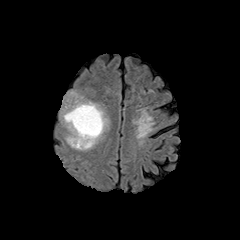
FLAIR MRI.
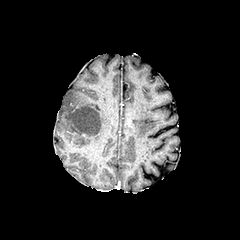
T1-weighted MRI.
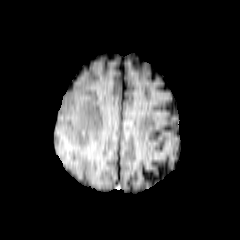
Post-contrast T1-weighted MR of the same slice.
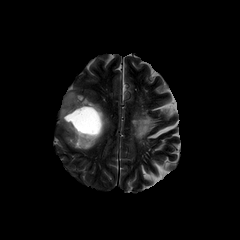
T2-weighted MR of the same slice.
Axial slice | Brain
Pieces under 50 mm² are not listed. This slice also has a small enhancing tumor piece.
The necrotic tumor core is at bbox=[64, 105, 102, 135]. The peritumoral edema is bounded by bbox=[60, 91, 109, 150].